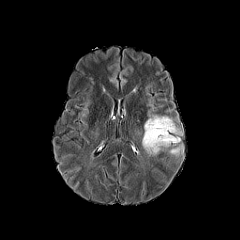
FLAIR MR image.
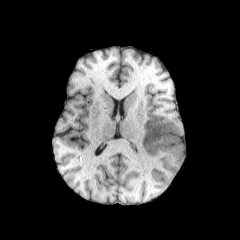
T1-weighted MRI.
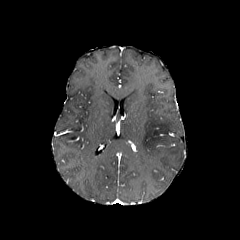
Post-contrast T1-weighted MR image of the same slice.
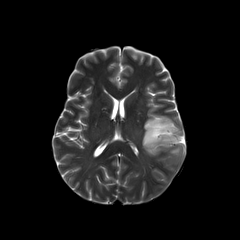
T2-weighted MR image of the same slice.
{"peritumoral_edema": ["[x1=142, y1=115, x2=182, y2=154]", "[x1=169, y1=144, x2=183, y2=156]"]}